240x240 px; Axial plane
FLAIR MRI.
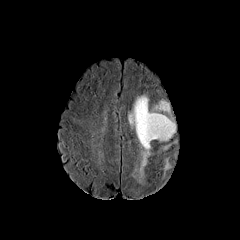
T1-weighted MR image.
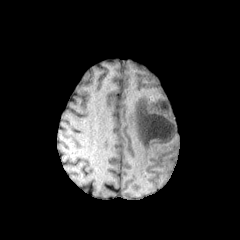
Post-contrast T1-weighted MR.
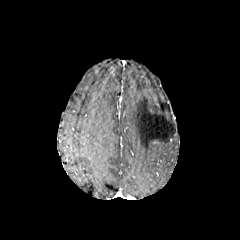
T2-weighted MRI.
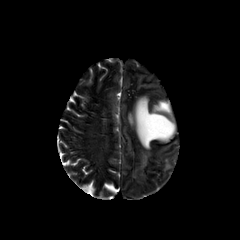
3 peritumoral edema regions appear at bbox(161, 142, 174, 151); bbox(163, 158, 170, 175); bbox(128, 95, 175, 184).